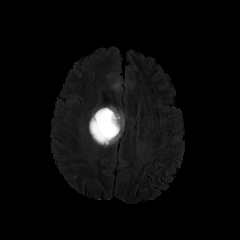
FLAIR MR image.
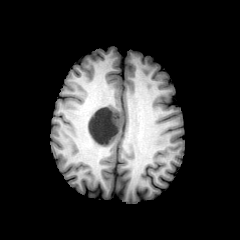
T1-weighted MRI.
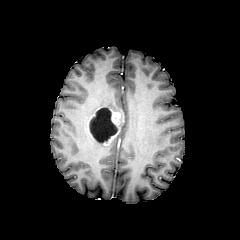
Post-contrast T1-weighted magnetic resonance.
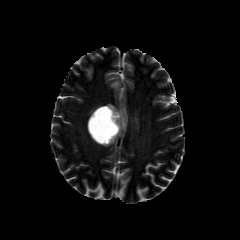
Same slice, T2-weighted MR image.
Axial slice; Brain
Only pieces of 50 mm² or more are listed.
necrotic tumor core: <box>89,108,117,143</box> | enhancing tumor: <box>101,108,123,145</box> | peritumoral edema: <box>99,105,122,112</box>, <box>108,116,124,145</box>